FLAIR MRI.
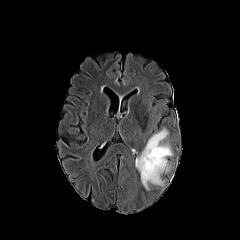
T1-weighted magnetic resonance.
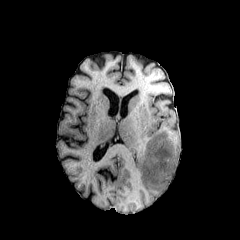
Post-contrast T1-weighted magnetic resonance.
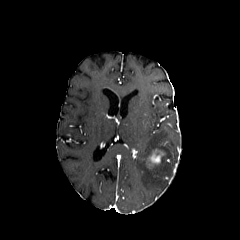
T2-weighted magnetic resonance.
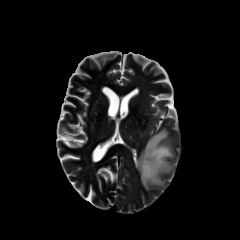
240x240. Axial plane.
enhancing_tumor:
  - box=[147, 149, 165, 167]
peritumoral_edema:
  - box=[135, 128, 172, 190]